Head
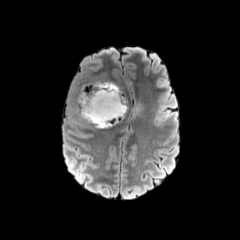
FLAIR magnetic resonance.
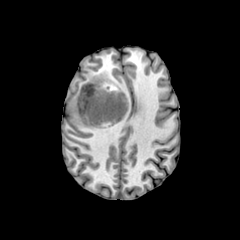
Same slice, T1-weighted MR image.
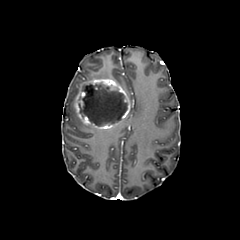
Same slice, post-contrast T1-weighted MR image.
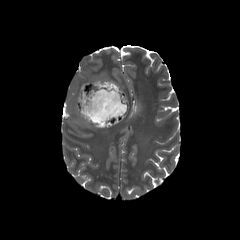
T2-weighted MR.
The peritumoral edema is at {"x1": 129, "y1": 104, "x2": 143, "y2": 119}. The enhancing tumor lies within {"x1": 74, "y1": 79, "x2": 130, "y2": 129}. The necrotic tumor core is bounded by {"x1": 79, "y1": 84, "x2": 127, "y2": 126}.